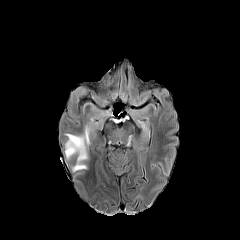
FLAIR MRI.
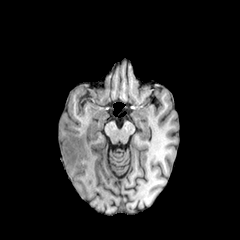
T1-weighted MR of the same slice.
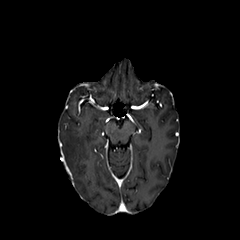
Post-contrast T1-weighted MR image of the same slice.
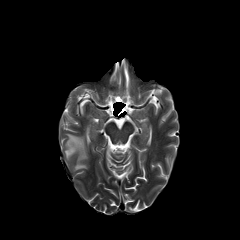
T2-weighted MRI of the same slice.
Head, Image size 240x240
peritumoral edema: x1=65, y1=131, x2=89, y2=170